Slice 72 of 155 | Axial view | Image covers 240 mm x 240 mm | Image size 240x240
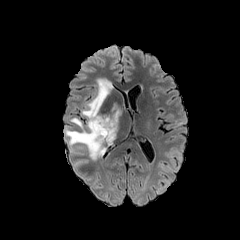
FLAIR MRI.
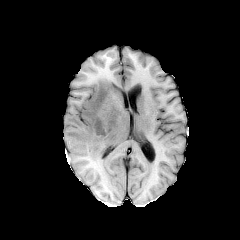
T1-weighted MR of the same slice.
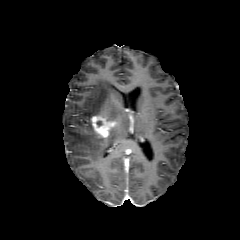
Post-contrast T1-weighted MR image.
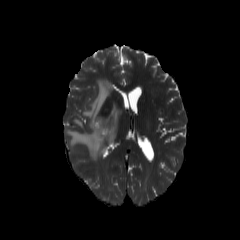
Same slice, T2-weighted MRI.
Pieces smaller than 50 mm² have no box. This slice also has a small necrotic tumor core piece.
enhancing tumor at region(91, 115, 118, 138)
peritumoral edema at region(65, 78, 120, 160)